Axial view, Image covers 240 mm x 240 mm, 240x240, Head
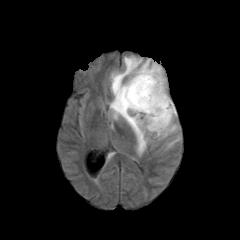
FLAIR MR image.
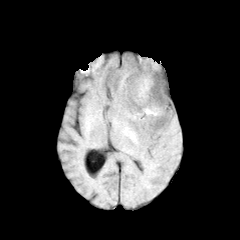
Same slice, T1-weighted magnetic resonance.
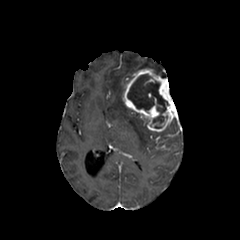
Post-contrast T1-weighted MRI.
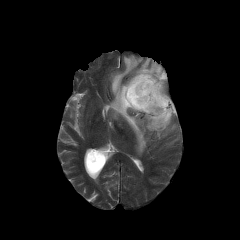
T2-weighted MR.
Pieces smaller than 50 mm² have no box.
The largest enhancing tumor region is bounded by 122 68 177 132. The 2 largest peritumoral edema regions appear at 110 56 163 154, 156 121 177 136. The largest necrotic tumor core region is bounded by 127 74 167 123.